240x240; Brain
FLAIR MR.
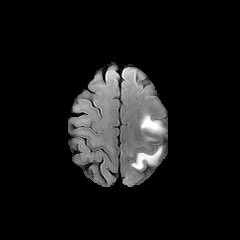
T1-weighted magnetic resonance.
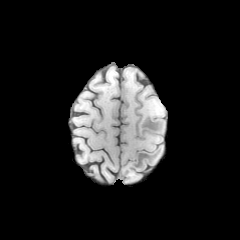
Post-contrast T1-weighted magnetic resonance.
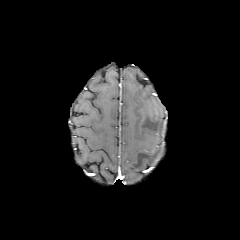
T2-weighted MRI.
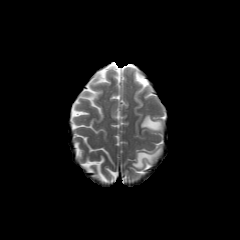
{
  "peritumoral_edema": [
    "(x1=141, y1=115, x2=166, y2=134)",
    "(x1=132, y1=148, x2=161, y2=168)"
  ]
}